Brain. Axial view.
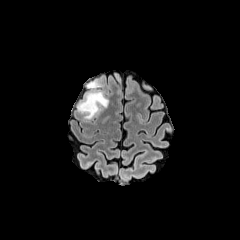
FLAIR MR image.
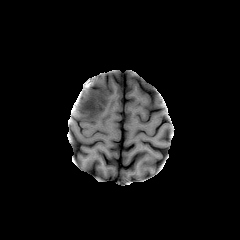
T1-weighted MR image.
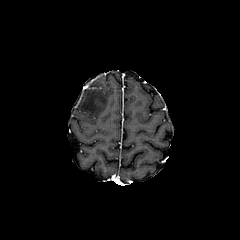
Post-contrast T1-weighted MR image.
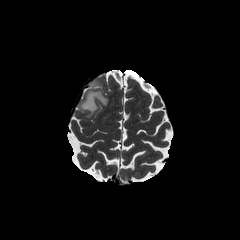
T2-weighted MR.
peritumoral_edema:
  - <bbox>77, 80, 108, 119</bbox>